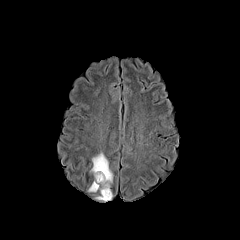
FLAIR MRI.
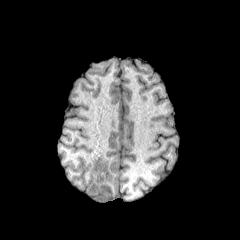
T1-weighted MRI.
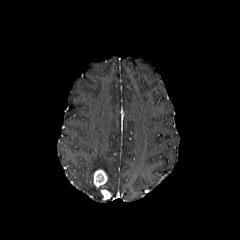
Same slice, post-contrast T1-weighted magnetic resonance.
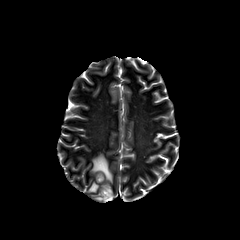
T2-weighted MR of the same slice.
240x240 px | Head | Axial slice
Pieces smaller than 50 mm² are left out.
The largest necrotic tumor core region is located at 96 173 105 183. 2 enhancing tumor regions are bounded by 100 188 111 200, 93 169 107 188. The largest peritumoral edema region is bounded by 88 152 113 196.